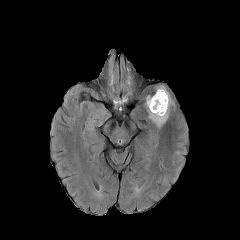
FLAIR MRI.
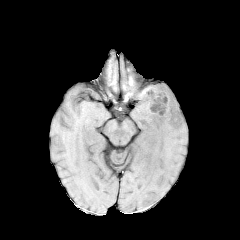
T1-weighted MR image.
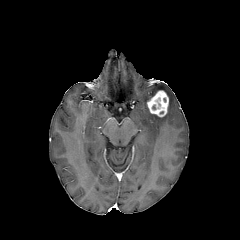
Same slice, post-contrast T1-weighted MR.
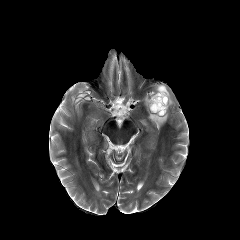
T2-weighted MRI.
Axial plane
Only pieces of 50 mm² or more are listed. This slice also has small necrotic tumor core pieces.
Annotated regions:
• enhancing tumor: 147,90,168,116
• peritumoral edema: 145,85,174,128